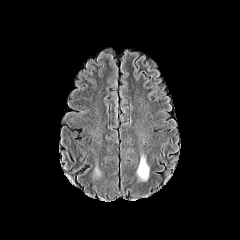
FLAIR MR image.
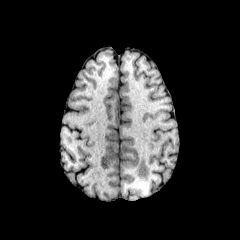
T1-weighted MR image of the same slice.
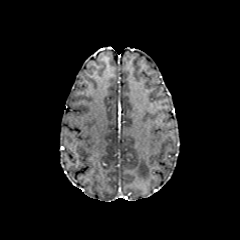
Post-contrast T1-weighted magnetic resonance.
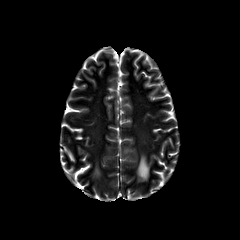
T2-weighted MR of the same slice.
Axial view
peritumoral edema: l=94, t=165, r=100, b=176; l=137, t=155, r=149, b=180